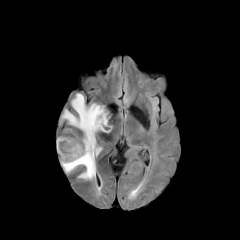
FLAIR MR image.
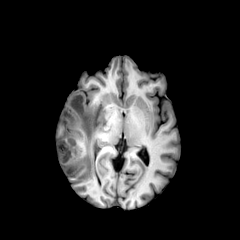
T1-weighted magnetic resonance.
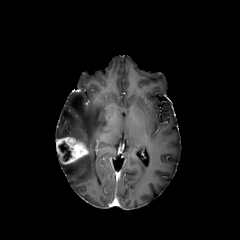
Post-contrast T1-weighted magnetic resonance of the same slice.
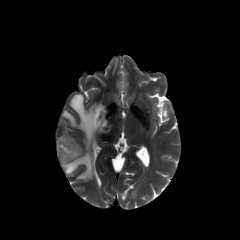
T2-weighted MR image.
Axial plane
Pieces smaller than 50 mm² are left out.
<segmentation>
  <necrotic_tumor_core>l=59, t=142, r=71, b=161</necrotic_tumor_core>
  <enhancing_tumor>l=56, t=136, r=88, b=164</enhancing_tumor>
  <peritumoral_edema>l=62, t=94, r=110, b=179</peritumoral_edema>
</segmentation>